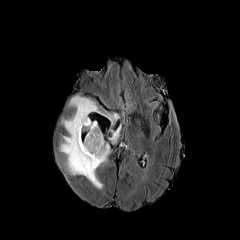
FLAIR MR.
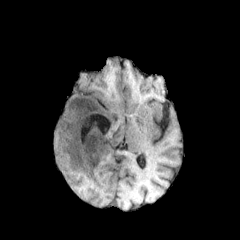
Same slice, T1-weighted MRI.
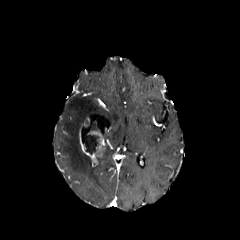
Post-contrast T1-weighted MRI of the same slice.
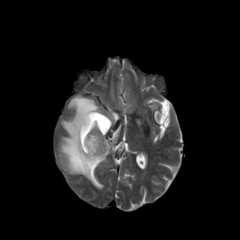
T2-weighted MRI of the same slice.
Head. Axial slice.
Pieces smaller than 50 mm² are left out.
The enhancing tumor is bounded by (left=79, top=118, right=105, bottom=166). 3 peritumoral edema regions are located at (left=60, top=95, right=119, bottom=188), (left=109, top=125, right=121, bottom=142), (left=91, top=122, right=98, bottom=130). The largest necrotic tumor core region is at (left=82, top=134, right=99, bottom=154).